Image width 240 mm, 1.00 mm slice spacing. Brain. Image size 240x240. Slice 86/155.
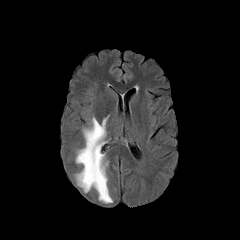
FLAIR MR image.
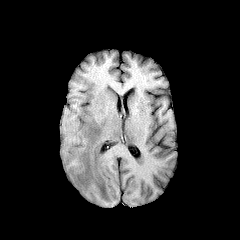
Same slice, T1-weighted MR.
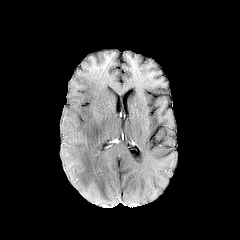
Post-contrast T1-weighted MRI.
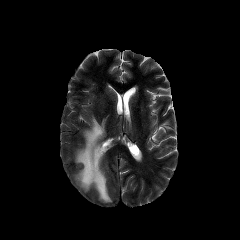
T2-weighted MRI.
peritumoral edema at box=[75, 117, 112, 203]